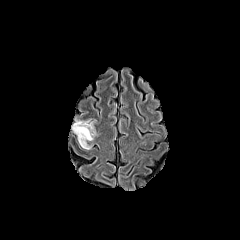
FLAIR MRI.
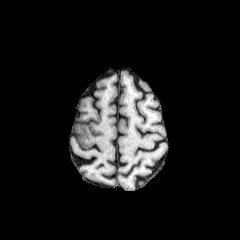
T1-weighted magnetic resonance.
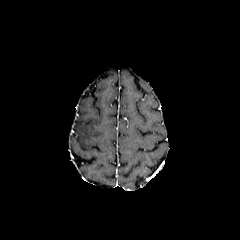
Post-contrast T1-weighted MRI.
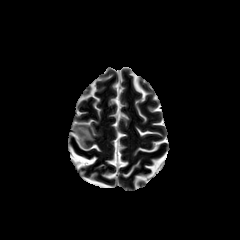
Same slice, T2-weighted magnetic resonance.
Brain
<segmentation>
  <peritumoral_edema>(73,120,95,149)</peritumoral_edema>
</segmentation>